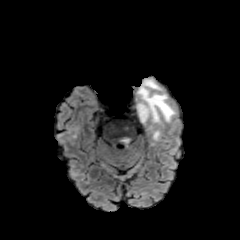
FLAIR MR.
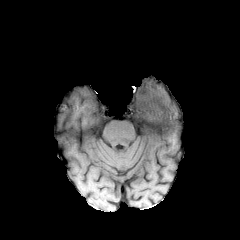
T1-weighted MR image.
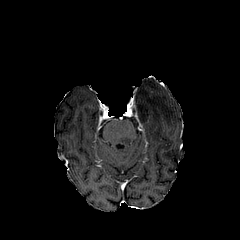
Post-contrast T1-weighted MR image.
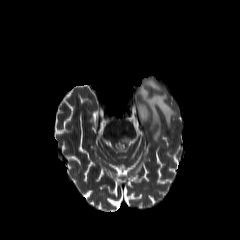
T2-weighted magnetic resonance of the same slice.
240x240 px | Head
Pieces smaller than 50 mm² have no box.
peritumoral edema: (135,79,176,141), (120,136,131,146)